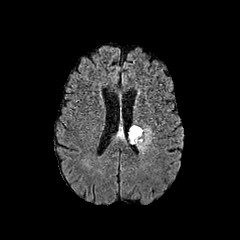
FLAIR MR.
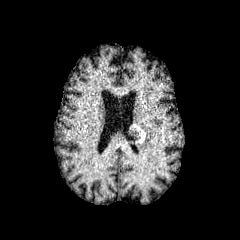
T1-weighted magnetic resonance.
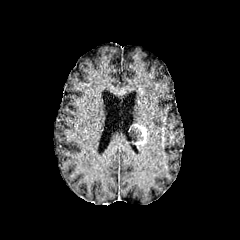
Post-contrast T1-weighted magnetic resonance of the same slice.
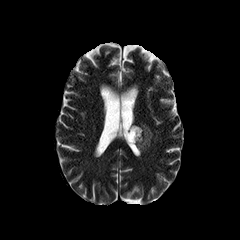
Same slice, T2-weighted MRI.
Head
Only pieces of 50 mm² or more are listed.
The necrotic tumor core lies within 131,127,142,142. 2 peritumoral edema regions are bounded by 116,126,124,139; 138,125,153,153. The largest enhancing tumor region is bounded by 132,125,149,147.